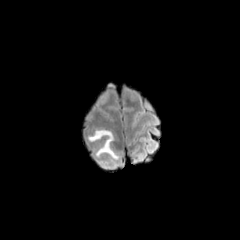
FLAIR MR image.
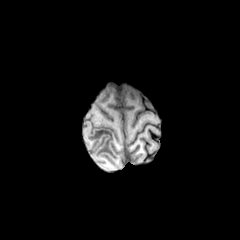
Same slice, T1-weighted MR image.
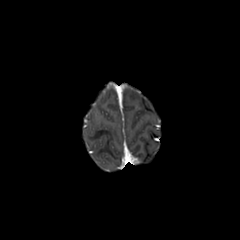
Post-contrast T1-weighted magnetic resonance.
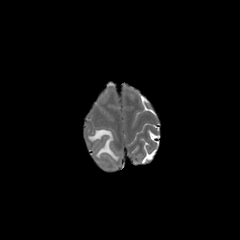
T2-weighted MR.
Axial view. Image size 240x240.
The peritumoral edema lies within box=[87, 129, 120, 168].